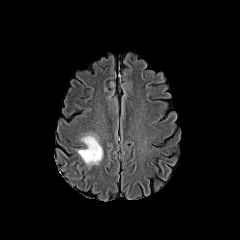
FLAIR MR image.
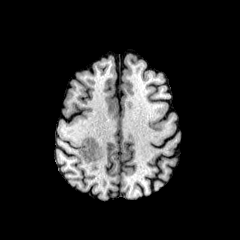
T1-weighted magnetic resonance.
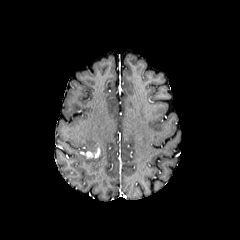
Post-contrast T1-weighted MR image of the same slice.
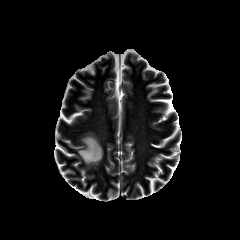
Same slice, T2-weighted magnetic resonance.
The enhancing tumor is bounded by <bbox>80, 147, 100, 158</bbox>. The peritumoral edema is located at <bbox>77, 133, 103, 166</bbox>.